Slice 97/155; Axial view
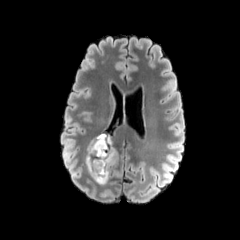
FLAIR magnetic resonance.
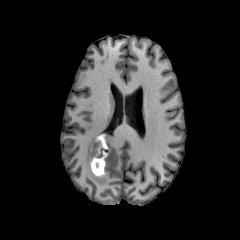
T1-weighted MR image of the same slice.
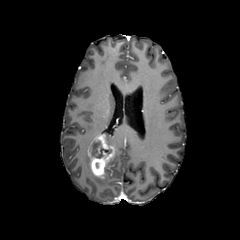
Post-contrast T1-weighted MRI of the same slice.
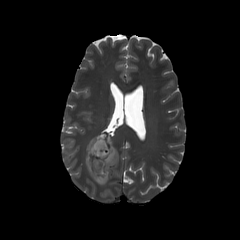
Same slice, T2-weighted MRI.
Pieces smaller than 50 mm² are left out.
enhancing tumor: region(87, 134, 115, 179) | peritumoral edema: region(86, 141, 110, 184); region(110, 149, 118, 166) | necrotic tumor core: region(90, 140, 108, 158)